Head
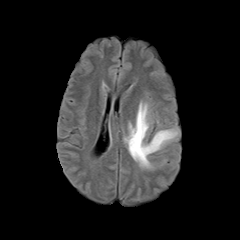
FLAIR MR image.
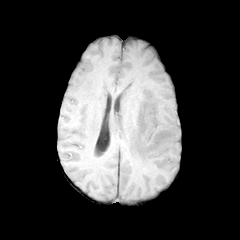
T1-weighted MR of the same slice.
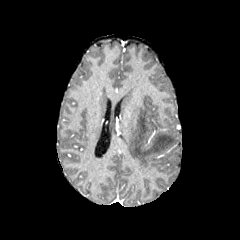
Post-contrast T1-weighted magnetic resonance of the same slice.
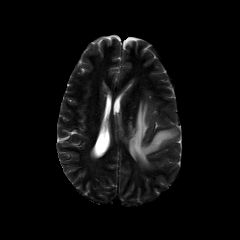
T2-weighted MR image.
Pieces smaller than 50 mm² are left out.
Segmented structures:
- peritumoral edema: left=124, top=101, right=179, bottom=169